FLAIR magnetic resonance.
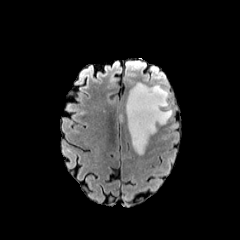
T1-weighted MR.
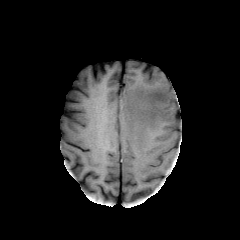
Post-contrast T1-weighted MRI.
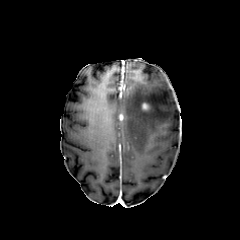
T2-weighted MR.
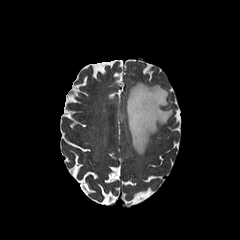
Axial plane, Brain
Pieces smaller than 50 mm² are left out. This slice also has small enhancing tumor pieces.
The peritumoral edema is at bbox=[126, 82, 172, 155].